Axial view | 240x240 px | Brain
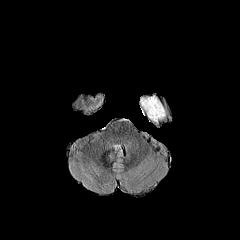
FLAIR magnetic resonance.
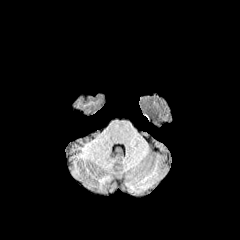
T1-weighted MR.
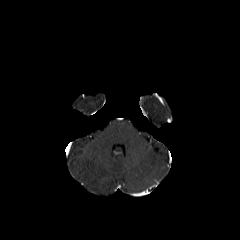
Same slice, post-contrast T1-weighted MR image.
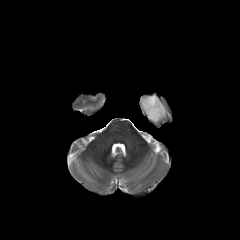
Same slice, T2-weighted MRI.
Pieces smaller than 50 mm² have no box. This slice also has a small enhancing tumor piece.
Annotated regions:
* peritumoral edema: (x1=140, y1=96, x2=165, y2=122)